240x240 px | Head | Image covers 240 mm x 240 mm
FLAIR MR image.
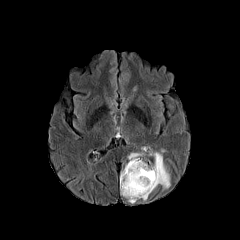
T1-weighted magnetic resonance.
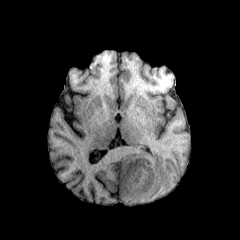
Post-contrast T1-weighted MR image.
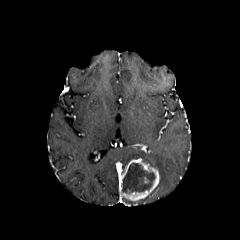
T2-weighted magnetic resonance.
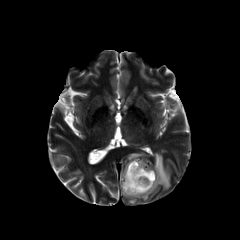
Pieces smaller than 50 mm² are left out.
The necrotic tumor core is at 122 163 155 192. The 2 largest peritumoral edema regions appear at 127 151 144 161, 149 150 170 189. The largest enhancing tumor region appears at 119 158 159 201.